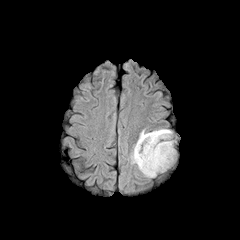
FLAIR MRI.
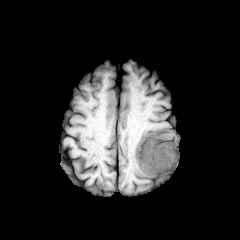
Same slice, T1-weighted magnetic resonance.
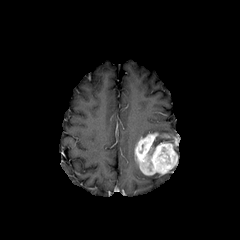
Post-contrast T1-weighted MRI of the same slice.
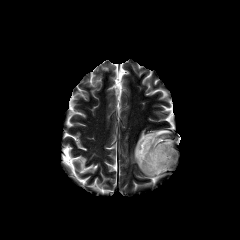
Same slice, T2-weighted magnetic resonance.
Brain
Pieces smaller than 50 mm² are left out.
enhancing tumor: bounding box box=[134, 132, 177, 175]
peritumoral edema: bounding box box=[139, 129, 174, 147]